Axial view.
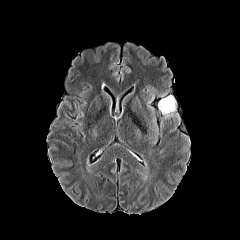
FLAIR MRI.
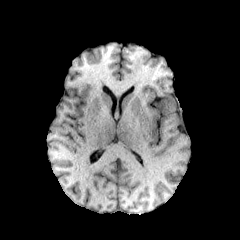
T1-weighted MRI.
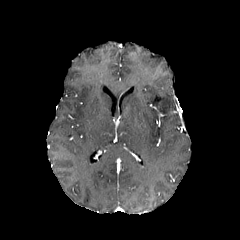
Post-contrast T1-weighted magnetic resonance.
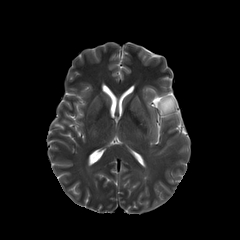
T2-weighted MR.
The peritumoral edema is located at {"x1": 158, "y1": 95, "x2": 176, "y2": 116}.